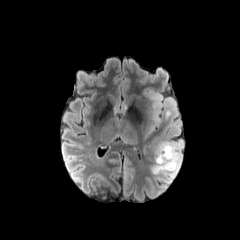
FLAIR magnetic resonance.
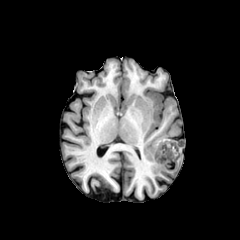
T1-weighted MR of the same slice.
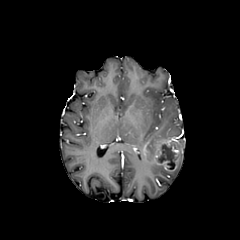
Post-contrast T1-weighted MR image.
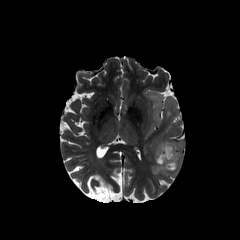
T2-weighted MR.
Axial plane; Brain
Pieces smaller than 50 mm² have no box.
{
  "peritumoral_edema": [
    "l=142, t=88, r=184, b=177",
    "l=152, t=137, r=166, b=157"
  ],
  "enhancing_tumor": [
    "l=154, t=140, r=182, b=171"
  ],
  "necrotic_tumor_core": [
    "l=158, t=144, r=177, b=169"
  ]
}